FLAIR MRI.
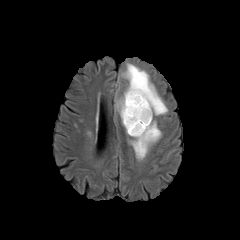
T1-weighted MR image.
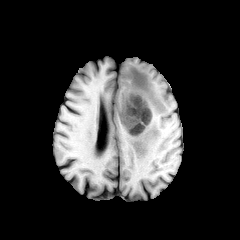
Post-contrast T1-weighted magnetic resonance.
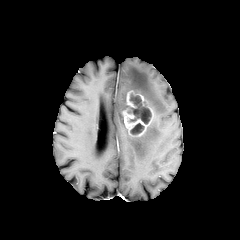
T2-weighted magnetic resonance.
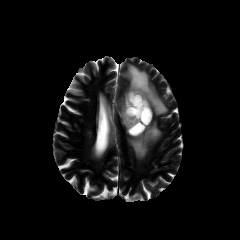
Head | Axial slice
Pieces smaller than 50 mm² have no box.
* enhancing tumor: x1=122 y1=90 x2=153 y2=136
* necrotic tumor core: x1=128 y1=93 x2=151 y2=124, x1=130 y1=123 x2=144 y2=134
* peritumoral edema: x1=115 y1=63 x2=167 y2=126, x1=129 y1=117 x2=161 y2=160